Image size 240x240. Slice 74 of 155. Brain.
FLAIR MR image.
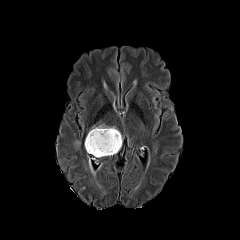
T1-weighted MRI.
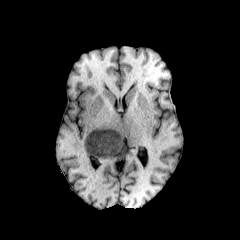
Post-contrast T1-weighted MRI.
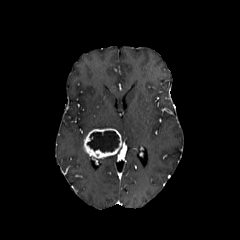
T2-weighted MR image.
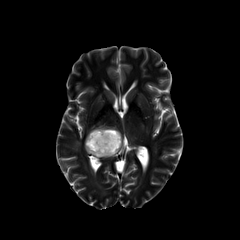
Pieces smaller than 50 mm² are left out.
necrotic tumor core: <bbox>87, 131, 119, 152</bbox> | peritumoral edema: <bbox>90, 124, 115, 130</bbox> | enhancing tumor: <bbox>84, 128, 122, 159</bbox>